Brain | Axial view | Image width 240 mm, 1.00 mm slice spacing | Slice 58 of 155 | 240x240 px
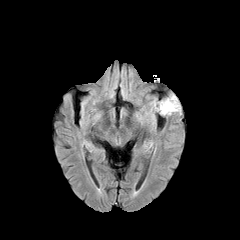
FLAIR MRI.
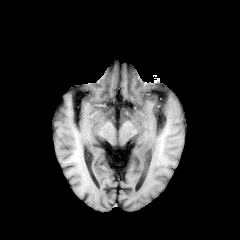
T1-weighted MR image.
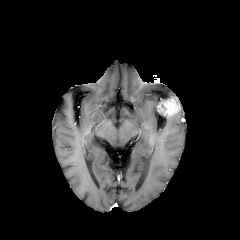
Same slice, post-contrast T1-weighted MR image.
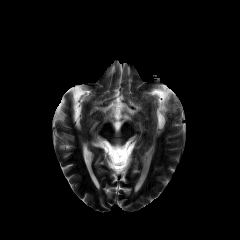
T2-weighted MR of the same slice.
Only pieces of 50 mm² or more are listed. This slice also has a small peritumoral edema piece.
- enhancing tumor: 157 97 180 115